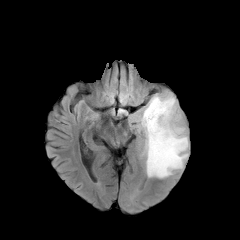
FLAIR magnetic resonance.
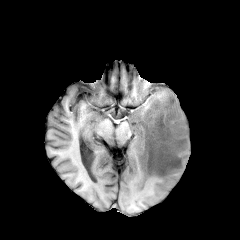
T1-weighted MRI.
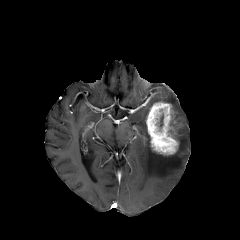
Same slice, post-contrast T1-weighted MRI.
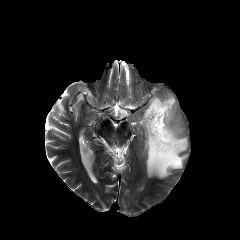
T2-weighted MR.
Brain | Image size 240x240 | Axial slice
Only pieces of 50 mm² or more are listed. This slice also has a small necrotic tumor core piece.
enhancing tumor at [x1=146, y1=101, x2=182, y2=155]
peritumoral edema at [x1=132, y1=92, x2=188, y2=178]